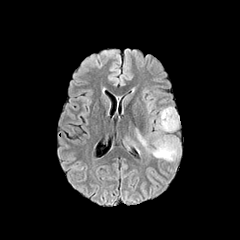
FLAIR MR image.
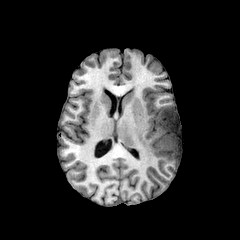
Same slice, T1-weighted MRI.
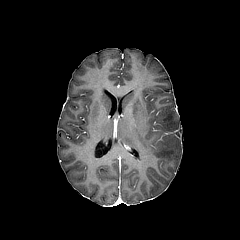
Same slice, post-contrast T1-weighted MRI.
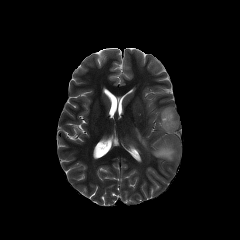
T2-weighted MR image of the same slice.
Axial view.
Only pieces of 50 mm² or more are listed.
The 2 largest peritumoral edema regions are located at 136:129:180:161, 156:106:179:131.